Slice 56/155. Head. Axial view.
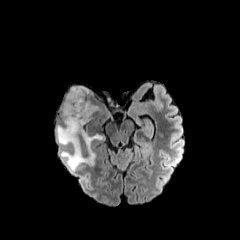
FLAIR MR image.
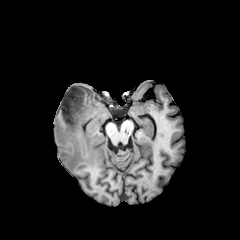
T1-weighted magnetic resonance.
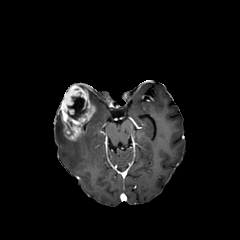
Post-contrast T1-weighted MRI.
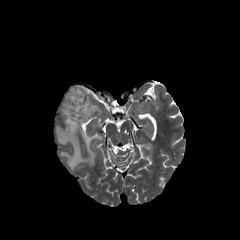
Same slice, T2-weighted magnetic resonance.
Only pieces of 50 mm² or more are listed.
The largest necrotic tumor core region is bounded by 68 97 86 119. The largest peritumoral edema region appears at 56 125 102 171. The enhancing tumor lies within 59 84 95 140.